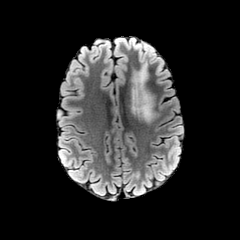
FLAIR magnetic resonance.
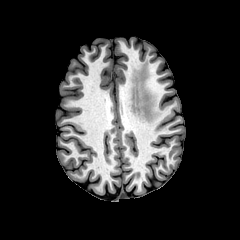
T1-weighted MR of the same slice.
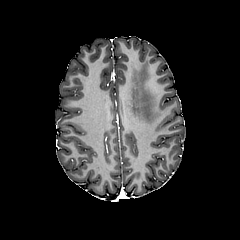
Post-contrast T1-weighted magnetic resonance.
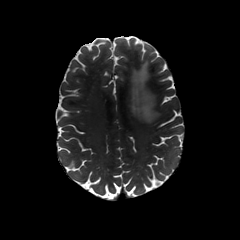
T2-weighted MR image of the same slice.
Axial plane; Image size 240x240; Brain
The peritumoral edema appears at x1=130 y1=64 x2=156 y2=122.